Axial plane. Slice 88/155.
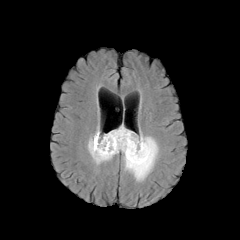
FLAIR MR image.
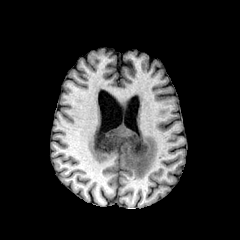
Same slice, T1-weighted MR.
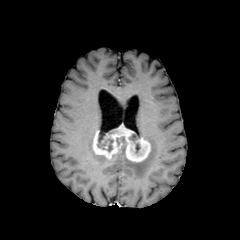
Post-contrast T1-weighted MR.
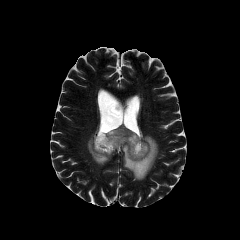
T2-weighted MRI.
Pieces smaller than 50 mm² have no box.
2 peritumoral edema regions are located at 122 131 158 180, 87 134 110 164. The enhancing tumor is at 92 125 150 162. The 2 largest necrotic tumor core regions appear at 97 132 106 147, 107 139 112 151.